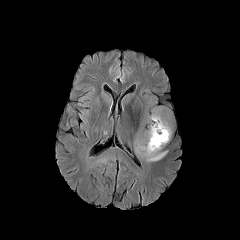
FLAIR MRI.
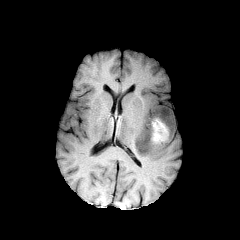
T1-weighted MR.
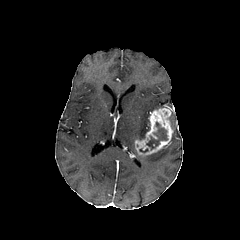
Same slice, post-contrast T1-weighted MR.
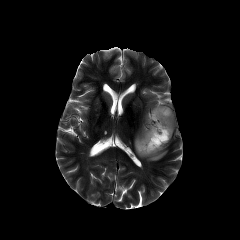
T2-weighted MR image.
240x240, Brain
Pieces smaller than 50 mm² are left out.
The largest necrotic tumor core region is at bbox(146, 122, 167, 149). The largest enhancing tumor region is bounded by bbox(135, 106, 173, 156). The largest peritumoral edema region appears at bbox(142, 150, 166, 161).